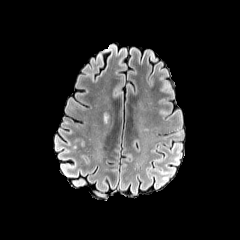
FLAIR MRI.
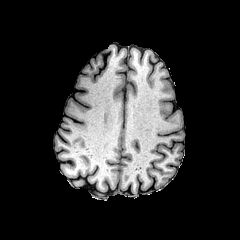
T1-weighted MR of the same slice.
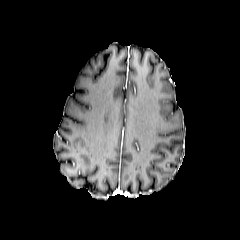
Same slice, post-contrast T1-weighted MR image.
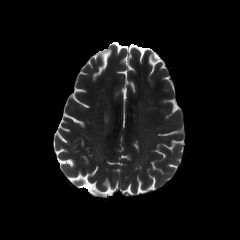
T2-weighted MRI of the same slice.
Axial slice; 240x240 px
peritumoral edema = (163,79,171,91)